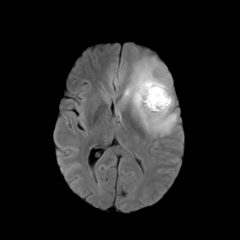
FLAIR magnetic resonance.
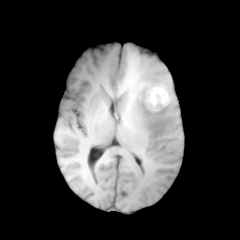
T1-weighted MRI.
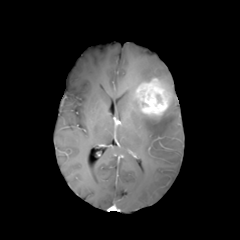
Post-contrast T1-weighted MRI.
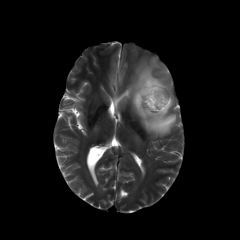
T2-weighted MRI.
240x240, Head, Axial plane
peritumoral edema: {"x1": 123, "y1": 58, "x2": 177, "y2": 135} | enhancing tumor: {"x1": 134, "y1": 78, "x2": 170, "y2": 118}